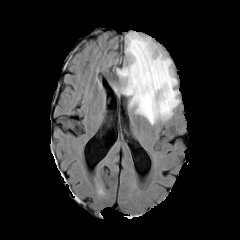
FLAIR MRI.
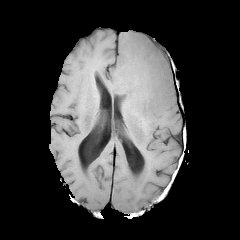
T1-weighted MR.
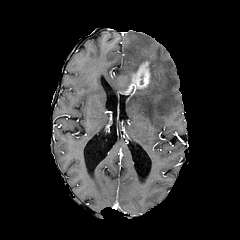
Post-contrast T1-weighted MR image.
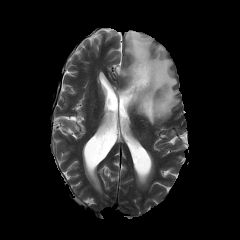
Same slice, T2-weighted magnetic resonance.
Head | Image size 240x240
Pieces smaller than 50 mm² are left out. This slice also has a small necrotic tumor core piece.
The enhancing tumor is located at bbox(123, 61, 150, 95). The peritumoral edema is bounded by bbox(114, 31, 178, 124).